Slice index 101 | Image size 240x240 | Head
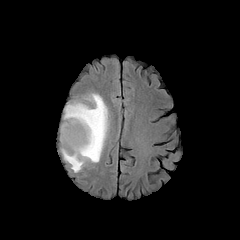
FLAIR MR.
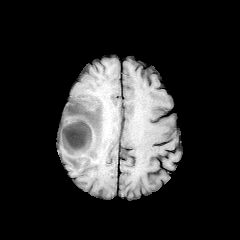
Same slice, T1-weighted MRI.
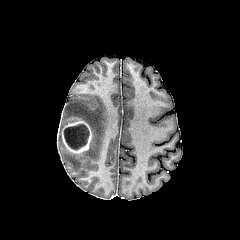
Same slice, post-contrast T1-weighted MR.
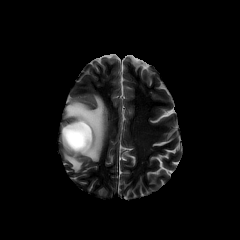
T2-weighted magnetic resonance.
necrotic_tumor_core:
  - rect(64, 124, 89, 149)
peritumoral_edema:
  - rect(60, 94, 108, 172)
enhancing_tumor:
  - rect(61, 118, 92, 154)